Axial slice. Slice 62 of 155. 240x240 px.
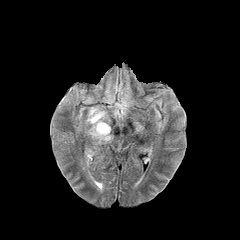
FLAIR MR.
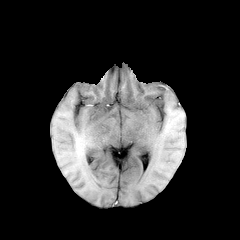
T1-weighted MR.
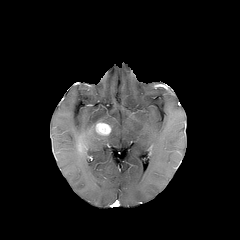
Post-contrast T1-weighted MRI of the same slice.
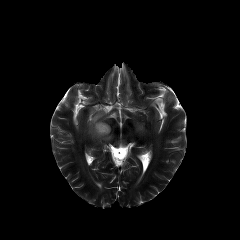
T2-weighted magnetic resonance.
The enhancing tumor is located at (95,122,110,135). The peritumoral edema is bounded by (87,108,111,141).